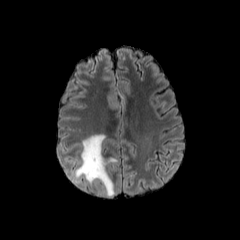
FLAIR MR image.
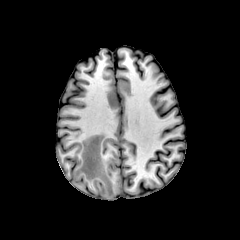
T1-weighted MRI of the same slice.
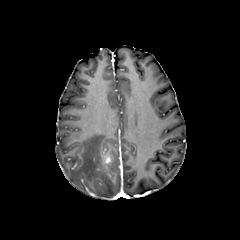
Post-contrast T1-weighted MRI of the same slice.
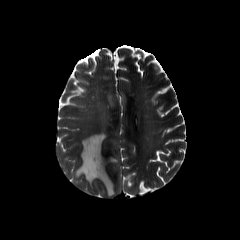
T2-weighted MR image.
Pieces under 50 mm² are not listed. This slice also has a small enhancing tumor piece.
peritumoral edema — x1=74, y1=134, x2=117, y2=196